Brain, Image width 240 mm, 1.00 mm slice spacing
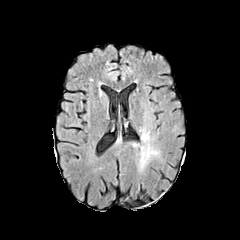
FLAIR magnetic resonance.
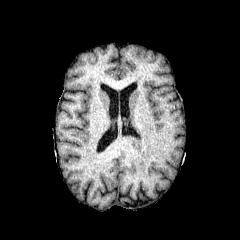
T1-weighted magnetic resonance.
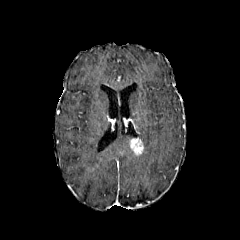
Same slice, post-contrast T1-weighted MR image.
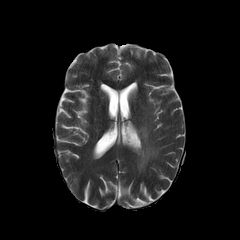
T2-weighted MR image of the same slice.
peritumoral edema: bounding box (137, 128, 158, 170)
enhancing tumor: bounding box (129, 138, 143, 155)